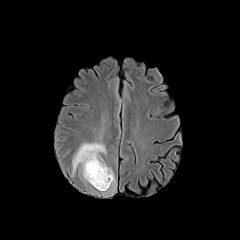
FLAIR magnetic resonance.
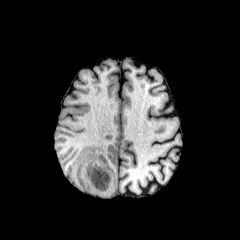
Same slice, T1-weighted MR image.
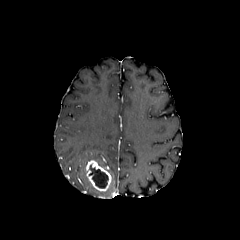
Post-contrast T1-weighted MRI.
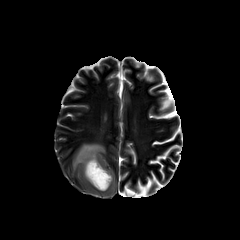
T2-weighted magnetic resonance of the same slice.
Image size 240x240
The peritumoral edema appears at rect(72, 142, 115, 192). The enhancing tumor is located at rect(86, 160, 112, 191). The necrotic tumor core is located at rect(89, 165, 108, 188).